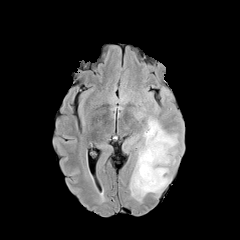
FLAIR MRI.
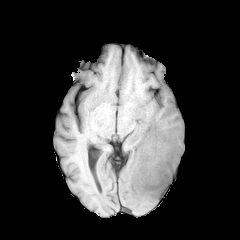
T1-weighted magnetic resonance.
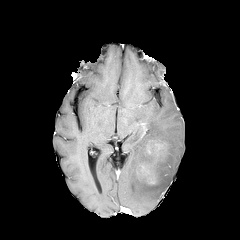
Post-contrast T1-weighted MR.
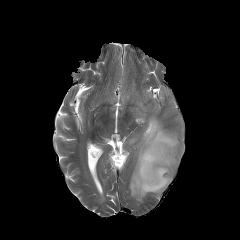
T2-weighted MRI.
Head.
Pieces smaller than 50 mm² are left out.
The enhancing tumor is located at (left=140, top=165, right=156, bottom=184). The largest peritumoral edema region is at (left=129, top=117, right=178, bottom=201).